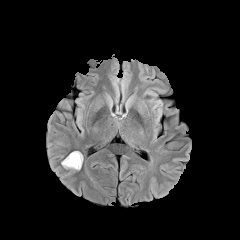
FLAIR magnetic resonance.
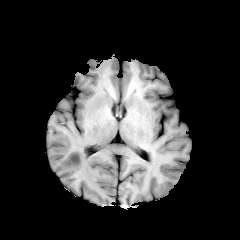
T1-weighted magnetic resonance.
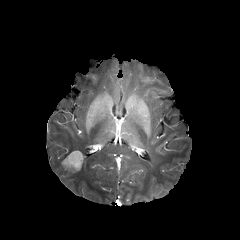
Post-contrast T1-weighted MR image of the same slice.
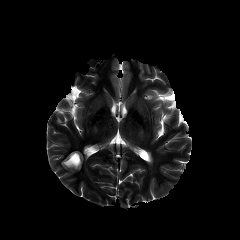
T2-weighted MR.
Axial slice; Brain
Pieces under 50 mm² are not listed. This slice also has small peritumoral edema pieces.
The enhancing tumor appears at 62:151:82:169.